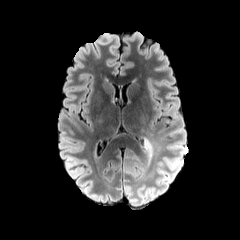
FLAIR magnetic resonance.
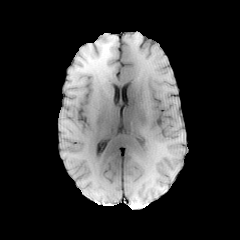
T1-weighted MR of the same slice.
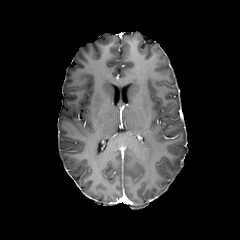
Post-contrast T1-weighted MR image.
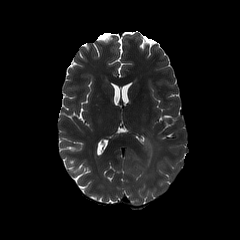
T2-weighted MR.
Head.
{
  "peritumoral_edema": [
    "box=[144, 138, 152, 155]",
    "box=[126, 156, 140, 172]"
  ]
}